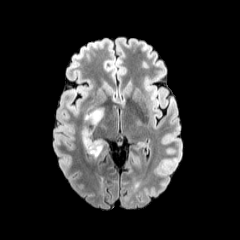
FLAIR MR.
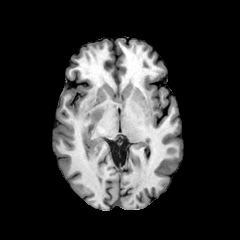
T1-weighted MR image of the same slice.
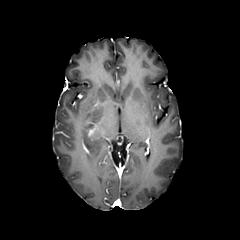
Same slice, post-contrast T1-weighted MR image.
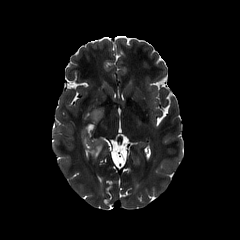
T2-weighted magnetic resonance.
Axial view
Annotated regions:
- peritumoral edema: 82 108 104 156